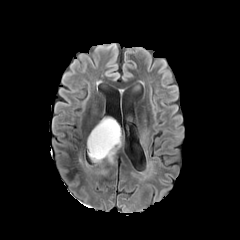
FLAIR magnetic resonance.
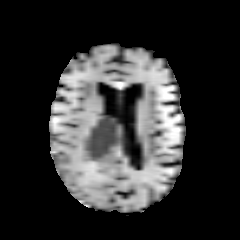
T1-weighted magnetic resonance.
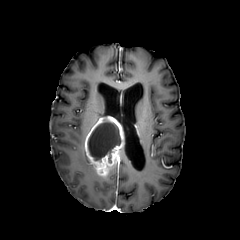
Post-contrast T1-weighted MR image.
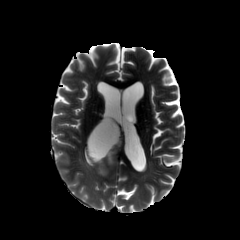
Same slice, T2-weighted MRI.
Axial plane; Head
• necrotic tumor core: x1=87 y1=122 x2=120 y2=162
• enhancing tumor: x1=85 y1=116 x2=124 y2=176